Image width 240 mm, 1.00 mm slice spacing; Head; Axial slice; Slice 93 of 155
FLAIR MRI.
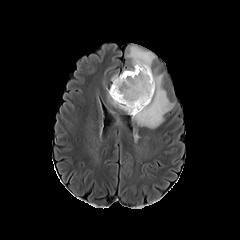
T1-weighted MR.
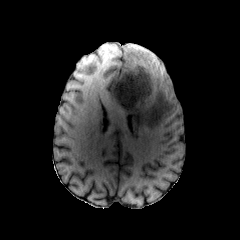
Post-contrast T1-weighted MR.
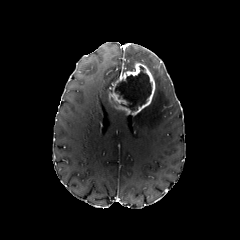
T2-weighted MRI.
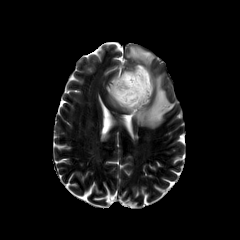
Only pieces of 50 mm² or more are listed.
The largest necrotic tumor core region is at region(114, 66, 151, 111). The 2 largest peritumoral edema regions are located at region(131, 50, 151, 71); region(132, 75, 173, 128). The enhancing tumor is located at region(109, 63, 155, 115).